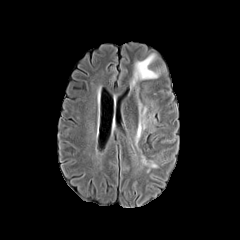
FLAIR MR.
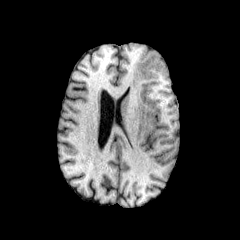
T1-weighted MR image.
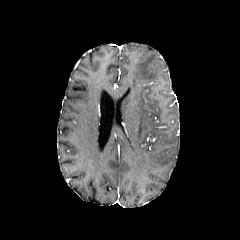
Same slice, post-contrast T1-weighted MRI.
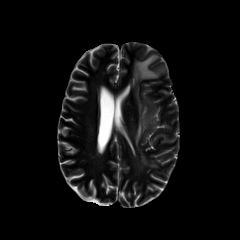
Same slice, T2-weighted MR image.
240x240 px. Head.
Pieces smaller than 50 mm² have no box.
The 2 largest peritumoral edema regions appear at (left=131, top=54, right=158, bottom=86), (left=135, top=102, right=148, bottom=144).